Axial slice; Slice 115/155
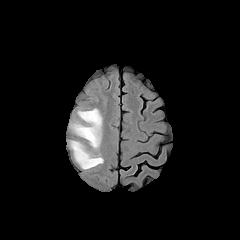
FLAIR MR image.
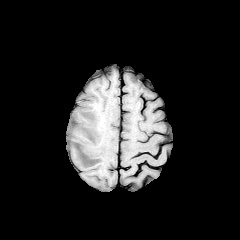
T1-weighted MR image.
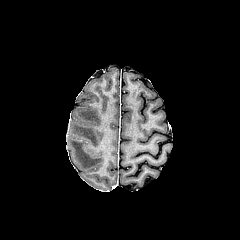
Post-contrast T1-weighted MR image of the same slice.
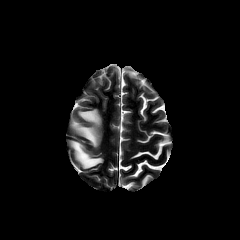
T2-weighted MRI.
2 peritumoral edema regions appear at left=70, top=140, right=103, bottom=169; left=71, top=108, right=102, bottom=149.